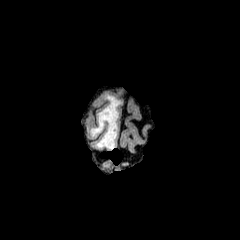
FLAIR MRI.
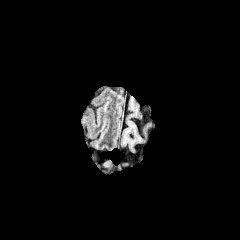
T1-weighted MR of the same slice.
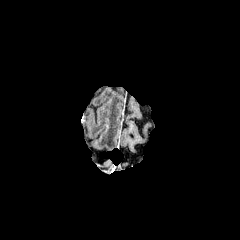
Same slice, post-contrast T1-weighted MRI.
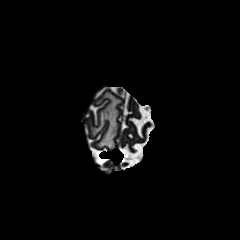
T2-weighted MR.
Head | Axial slice
The peritumoral edema is at 91 94 120 149.